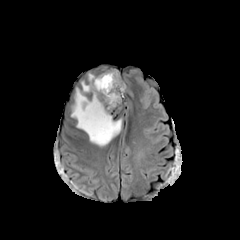
FLAIR MRI.
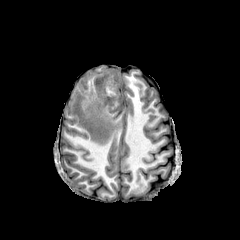
T1-weighted MR image of the same slice.
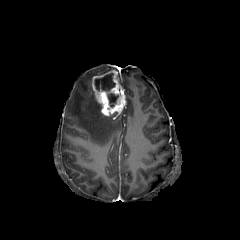
Same slice, post-contrast T1-weighted MRI.
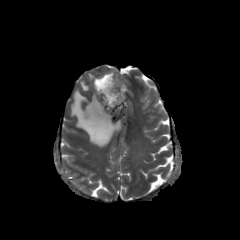
T2-weighted MRI.
Brain.
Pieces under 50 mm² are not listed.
enhancing tumor: bounding box 92:70:126:115
peritumoral edema: bounding box 71:73:122:146
necrotic tumor core: bounding box 94:73:118:107